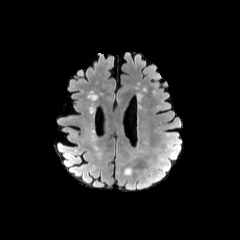
FLAIR MRI.
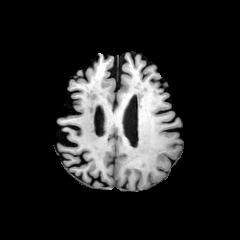
Same slice, T1-weighted MR image.
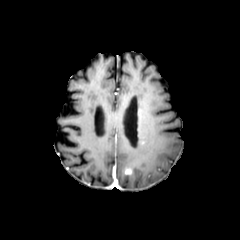
Post-contrast T1-weighted MR image.
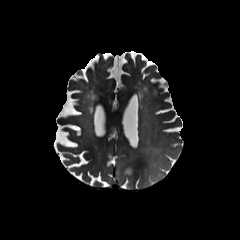
T2-weighted MR.
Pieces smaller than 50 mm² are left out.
enhancing tumor — [124, 168, 132, 174]
peritumoral edema — [118, 171, 151, 191]